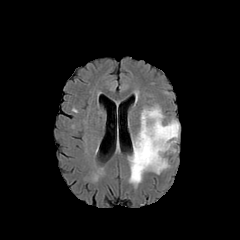
FLAIR MRI.
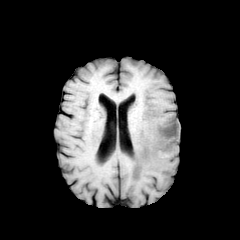
T1-weighted MR of the same slice.
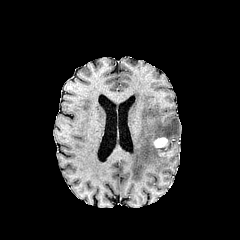
Post-contrast T1-weighted MRI.
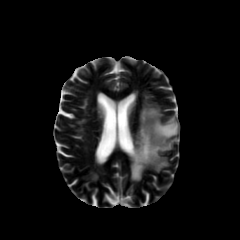
T2-weighted magnetic resonance.
Brain. Axial view.
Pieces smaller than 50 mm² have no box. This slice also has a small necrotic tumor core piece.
The enhancing tumor lies within <bbox>153, 137, 169, 149</bbox>. The peritumoral edema appears at <bbox>129, 106, 179, 184</bbox>.